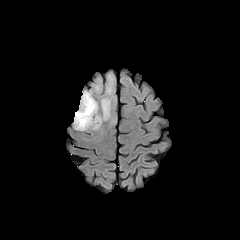
FLAIR MRI.
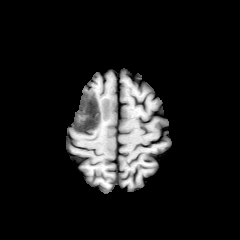
T1-weighted MRI.
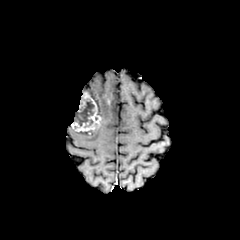
Same slice, post-contrast T1-weighted MRI.
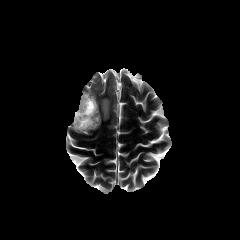
T2-weighted MR of the same slice.
Axial slice
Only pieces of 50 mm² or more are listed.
The largest enhancing tumor region is at x1=71 y1=92 x2=101 y2=131. The largest necrotic tumor core region appears at x1=74 y1=101 x2=94 y2=125. The largest peritumoral edema region is bounded by x1=100 y1=98 x2=111 y2=123.